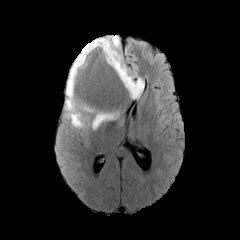
FLAIR MR.
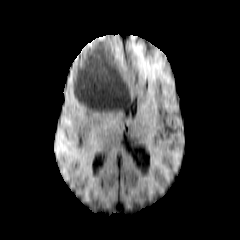
T1-weighted MRI.
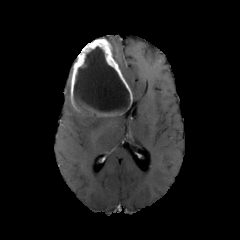
Post-contrast T1-weighted magnetic resonance of the same slice.
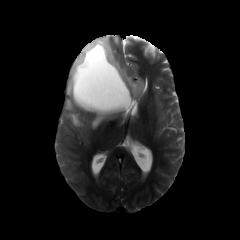
T2-weighted MRI of the same slice.
Axial view, Brain
The enhancing tumor lies within [x1=70, y1=37, x2=132, y2=116]. The necrotic tumor core is located at [x1=74, y1=46, x2=129, y2=112]. 3 peritumoral edema regions are bounded by [x1=104, y1=35, x2=143, y2=99], [x1=64, y1=68, x2=89, y2=128], [x1=91, y1=114, x2=119, y2=129].